Axial plane. Head. Image covers 240 mm x 240 mm.
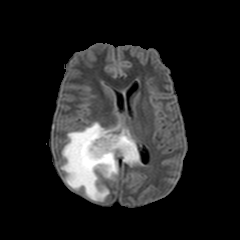
FLAIR MR image.
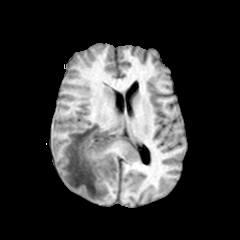
Same slice, T1-weighted MRI.
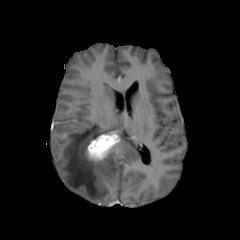
Post-contrast T1-weighted MR image of the same slice.
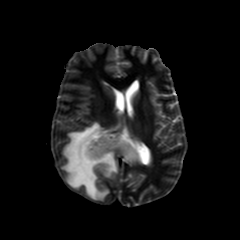
T2-weighted magnetic resonance.
peritumoral edema = x1=61, y1=122, x2=140, y2=201
enhancing tumor = x1=86, y1=132, x2=120, y2=162